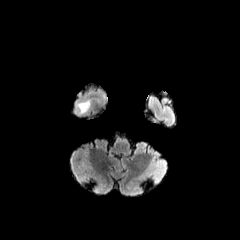
FLAIR MRI.
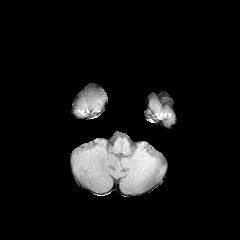
T1-weighted magnetic resonance of the same slice.
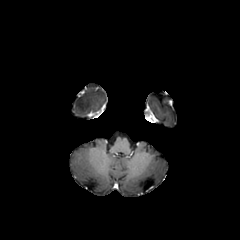
Post-contrast T1-weighted MRI.
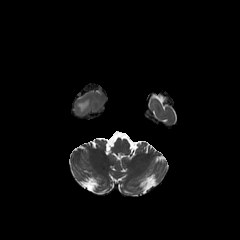
T2-weighted MR image of the same slice.
Brain | Image size 240x240
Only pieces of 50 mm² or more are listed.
<segmentation>
  <peritumoral_edema>x1=76, y1=100, x2=90, y2=113</peritumoral_edema>
</segmentation>